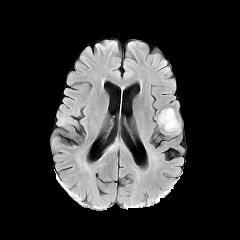
FLAIR magnetic resonance.
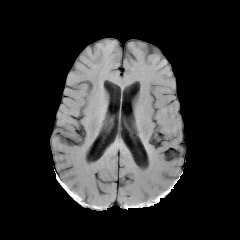
T1-weighted magnetic resonance of the same slice.
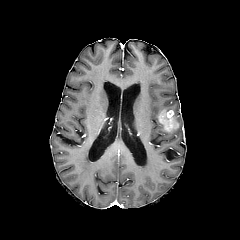
Same slice, post-contrast T1-weighted magnetic resonance.
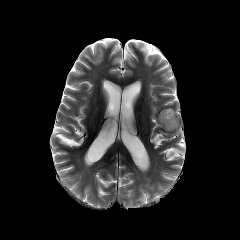
T2-weighted magnetic resonance.
Brain; Axial plane
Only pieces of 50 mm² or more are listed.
The enhancing tumor is at bbox=[158, 110, 178, 131]. The largest peritumoral edema region lies within bbox=[163, 108, 181, 134].